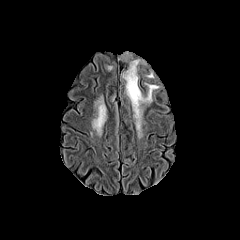
FLAIR MR.
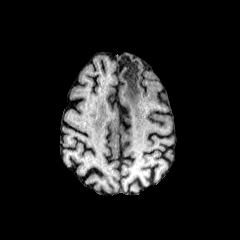
T1-weighted MR of the same slice.
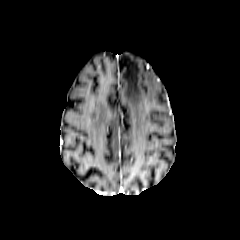
Post-contrast T1-weighted MR image.
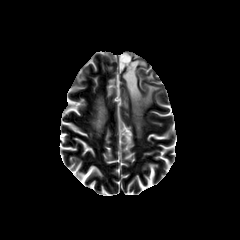
Same slice, T2-weighted MR.
Head
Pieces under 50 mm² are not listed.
peritumoral edema at [121,53,158,135], [92,100,106,132]